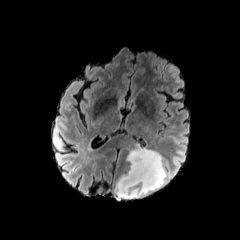
FLAIR magnetic resonance.
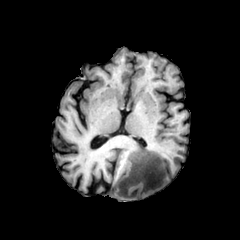
T1-weighted MR.
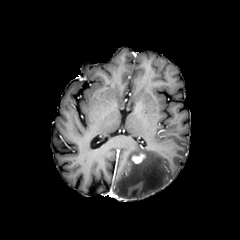
Post-contrast T1-weighted magnetic resonance of the same slice.
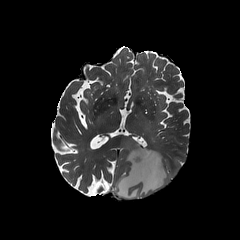
T2-weighted MRI of the same slice.
Axial view | Image size 240x240
Findings:
- enhancing tumor: 132, 153, 145, 164
- peritumoral edema: 114, 144, 166, 199